Brain; Axial plane
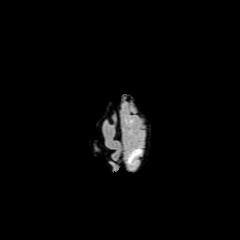
FLAIR MR.
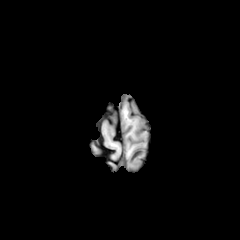
T1-weighted MRI of the same slice.
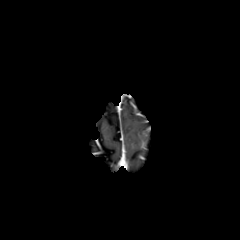
Post-contrast T1-weighted magnetic resonance of the same slice.
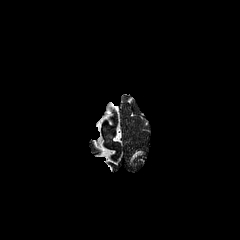
T2-weighted MRI of the same slice.
Annotated regions:
• peritumoral edema: 130:150:140:161